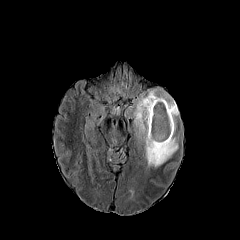
FLAIR magnetic resonance.
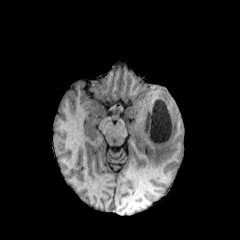
T1-weighted MR.
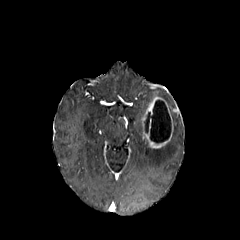
Post-contrast T1-weighted MR.
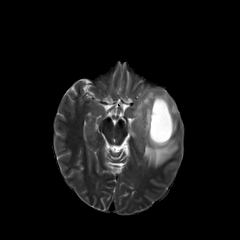
T2-weighted magnetic resonance of the same slice.
Axial slice
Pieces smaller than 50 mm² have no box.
<segmentation>
  <enhancing_tumor>[141, 96, 173, 148]</enhancing_tumor>
  <peritumoral_edema>[133, 89, 178, 167]</peritumoral_edema>
  <necrotic_tumor_core>[144, 100, 171, 143]</necrotic_tumor_core>
</segmentation>